Axial plane, Brain
FLAIR magnetic resonance.
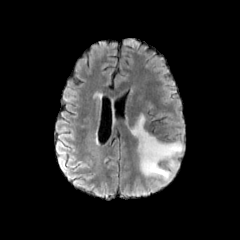
T1-weighted MR.
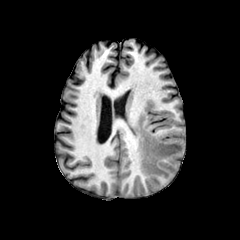
Post-contrast T1-weighted MR.
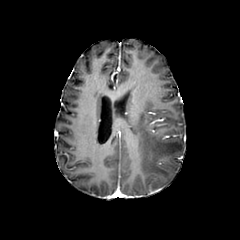
T2-weighted MR.
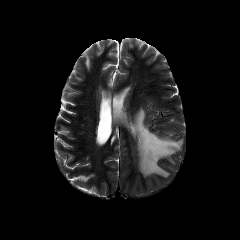
peritumoral edema = 132:114:182:177